Image width 240 mm; Axial slice; Head
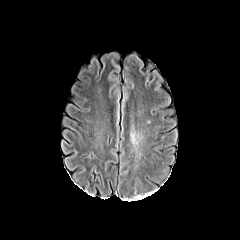
FLAIR magnetic resonance.
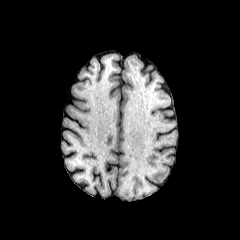
T1-weighted MRI.
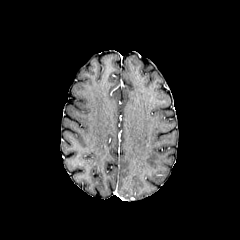
Post-contrast T1-weighted MR.
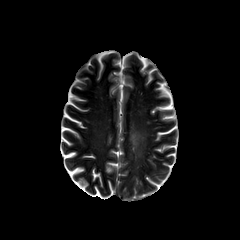
Same slice, T2-weighted MR image.
{
  "peritumoral_edema": [
    "[131,133,137,145]"
  ]
}